FLAIR MR.
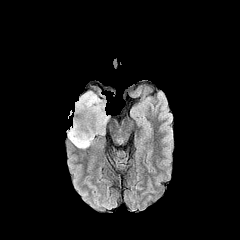
T1-weighted MRI.
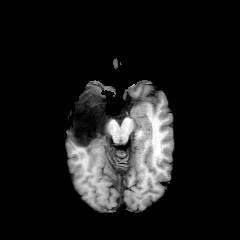
Post-contrast T1-weighted MRI.
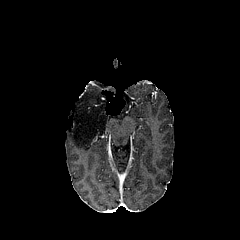
T2-weighted magnetic resonance.
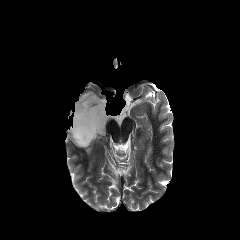
Brain.
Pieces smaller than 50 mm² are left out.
Findings:
• peritumoral edema: l=67, t=91, r=109, b=148